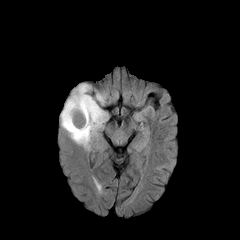
FLAIR MR image.
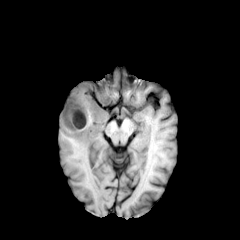
T1-weighted MR image.
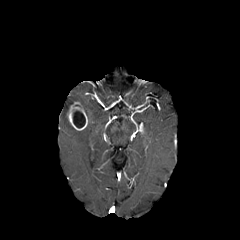
Same slice, post-contrast T1-weighted magnetic resonance.
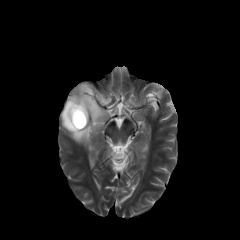
T2-weighted magnetic resonance.
Axial plane | Head | Image size 240x240
Annotated regions:
* enhancing tumor: bbox(66, 102, 88, 130)
* necrotic tumor core: bbox(73, 110, 85, 127)
* peritumoral edema: bbox(60, 83, 108, 150)